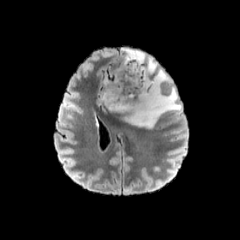
FLAIR MRI.
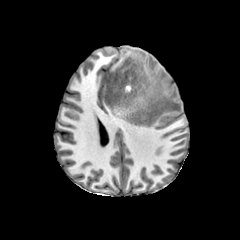
Same slice, T1-weighted MR.
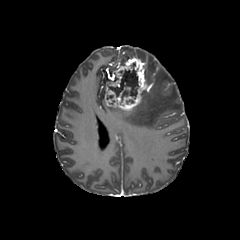
Same slice, post-contrast T1-weighted MR image.
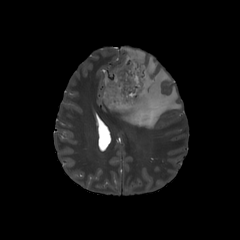
T2-weighted MR of the same slice.
Image size 240x240; Axial plane
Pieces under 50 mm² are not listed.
necrotic tumor core = x1=109 y1=69 x2=138 y2=99
enhancing tumor = x1=104 y1=57 x2=153 y2=112
peritumoral edema = x1=108 y1=56 x2=181 y2=128, x1=122 y1=48 x2=145 y2=62